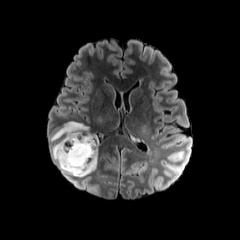
FLAIR MR image.
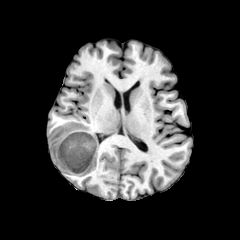
T1-weighted magnetic resonance.
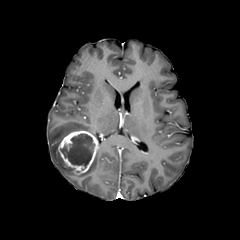
Post-contrast T1-weighted MR image of the same slice.
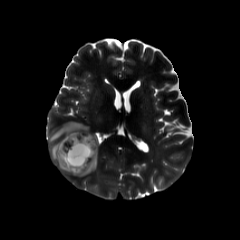
Same slice, T2-weighted magnetic resonance.
Segmented structures:
* peritumoral edema: [50, 121, 97, 176]
* necrotic tumor core: [60, 133, 94, 168]
* enhancing tumor: [58, 131, 98, 174]